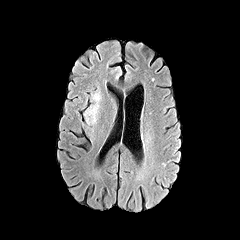
FLAIR MR image.
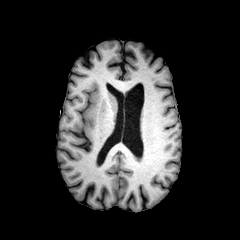
T1-weighted magnetic resonance.
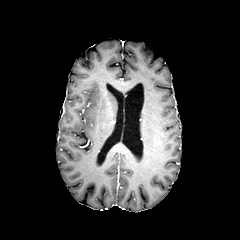
Same slice, post-contrast T1-weighted magnetic resonance.
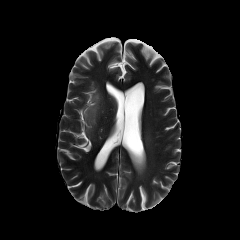
Same slice, T2-weighted MRI.
Axial plane
peritumoral_edema:
  - box(85, 93, 100, 123)